FLAIR MR.
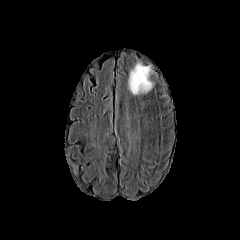
T1-weighted MR image.
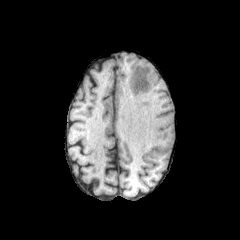
Post-contrast T1-weighted MR.
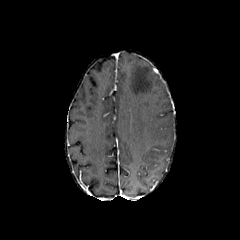
T2-weighted MR image.
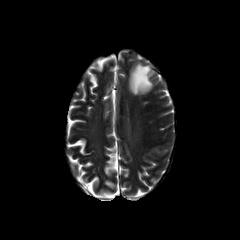
Brain | Axial view
Segmented structures:
* peritumoral edema: 128:63:152:94